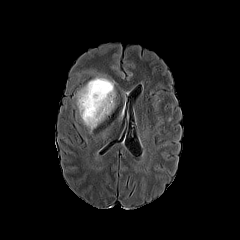
FLAIR MRI.
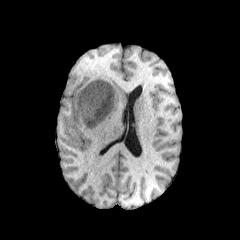
T1-weighted magnetic resonance.
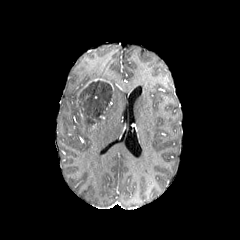
Post-contrast T1-weighted MR of the same slice.
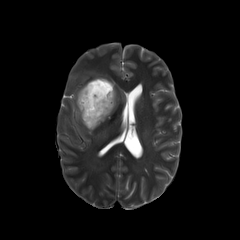
Same slice, T2-weighted magnetic resonance.
240x240 px
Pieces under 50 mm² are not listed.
{
  "enhancing_tumor": [
    "<bbox>83, 78, 114, 91</bbox>"
  ],
  "necrotic_tumor_core": [
    "<bbox>79, 80, 113, 125</bbox>"
  ],
  "peritumoral_edema": [
    "<bbox>73, 87, 93, 133</bbox>",
    "<bbox>104, 90, 115, 117</bbox>"
  ]
}